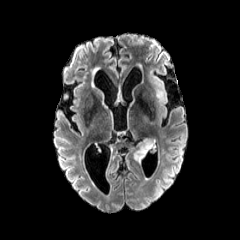
FLAIR MR.
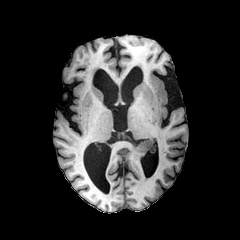
Same slice, T1-weighted MRI.
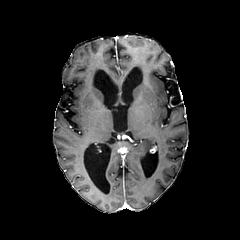
Post-contrast T1-weighted MRI.
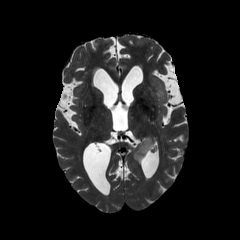
T2-weighted MR image of the same slice.
Image size 240x240, Head, Axial plane
peritumoral edema: bbox=[134, 138, 154, 162]